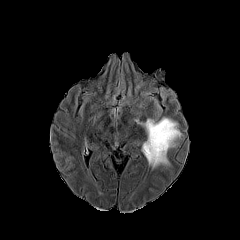
FLAIR magnetic resonance.
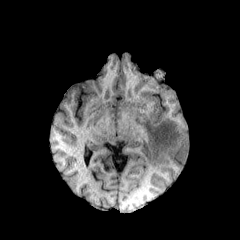
T1-weighted MR image.
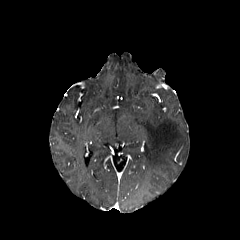
Post-contrast T1-weighted magnetic resonance of the same slice.
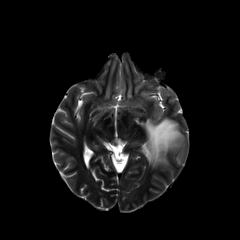
T2-weighted MR image.
Axial view; Head
peritumoral edema: box(136, 118, 182, 168)